FLAIR MR image.
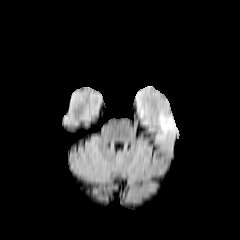
T1-weighted MR image.
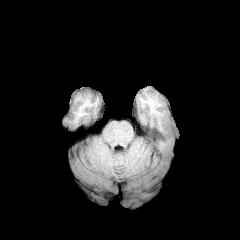
Post-contrast T1-weighted MRI.
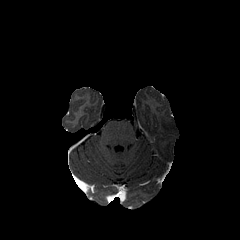
T2-weighted MRI.
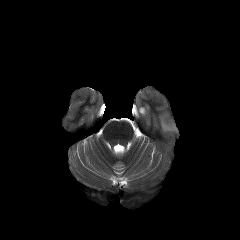
peritumoral edema = 159, 114, 176, 133